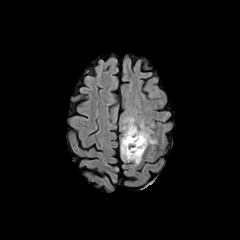
FLAIR MR.
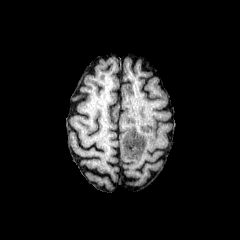
Same slice, T1-weighted magnetic resonance.
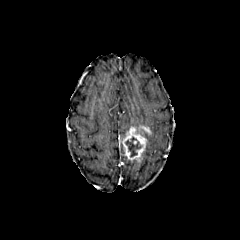
Same slice, post-contrast T1-weighted MR.
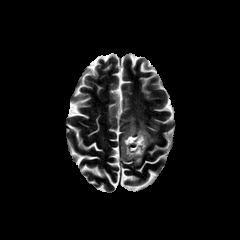
Same slice, T2-weighted MRI.
Brain. Image size 240x240.
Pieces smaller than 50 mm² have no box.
enhancing tumor: box=[122, 125, 151, 162] | peritumoral edema: box=[121, 116, 138, 160]; box=[145, 133, 156, 147] | necrotic tumor core: box=[125, 137, 140, 156]